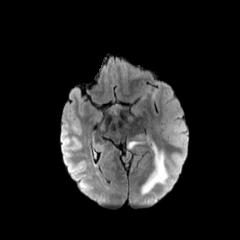
FLAIR MRI.
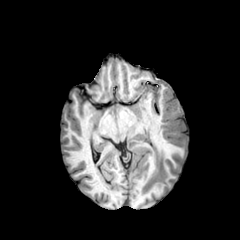
T1-weighted MR image.
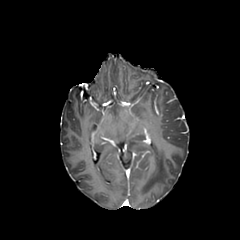
Same slice, post-contrast T1-weighted MR.
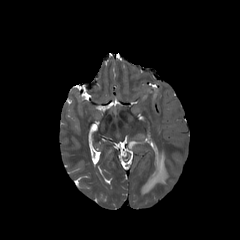
T2-weighted MR image.
Axial slice. Brain. 240x240.
{"peritumoral_edema": ["rect(141, 144, 168, 194)", "rect(128, 141, 144, 148)"]}